Head | Axial view
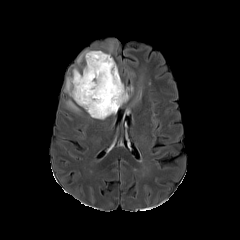
FLAIR MR.
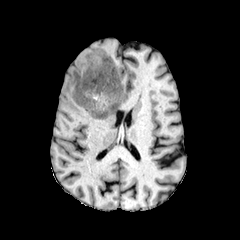
Same slice, T1-weighted MRI.
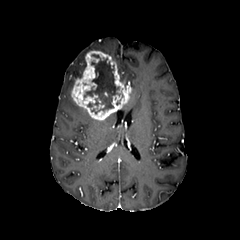
Post-contrast T1-weighted MRI.
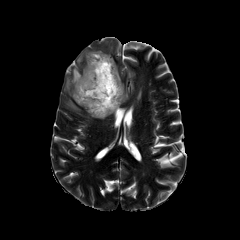
T2-weighted magnetic resonance of the same slice.
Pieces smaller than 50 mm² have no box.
The largest enhancing tumor region is at 71 50 131 120. The largest necrotic tumor core region is at 84 54 118 113. The 3 largest peritumoral edema regions are bounded by 66 100 80 112, 64 67 82 96, 77 50 89 63.